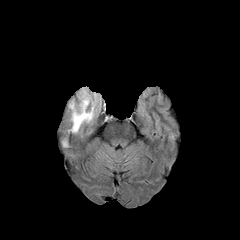
FLAIR MR image.
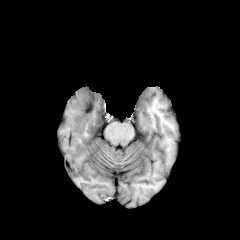
Same slice, T1-weighted MR image.
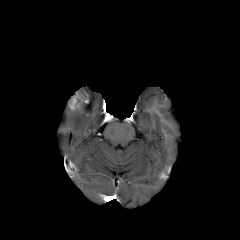
Post-contrast T1-weighted MR of the same slice.
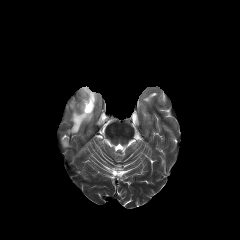
T2-weighted MR image.
Brain
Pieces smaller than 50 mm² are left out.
enhancing tumor: region(69, 91, 89, 110)
peritumoral edema: region(70, 87, 101, 132)